FLAIR MRI.
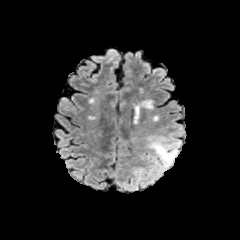
T1-weighted magnetic resonance.
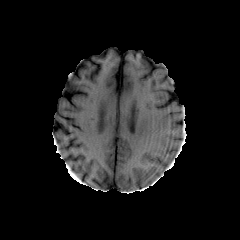
Post-contrast T1-weighted MR image.
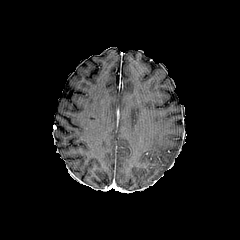
T2-weighted MR.
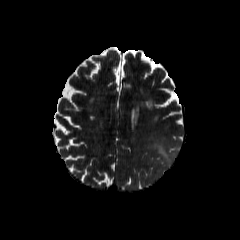
240x240 px
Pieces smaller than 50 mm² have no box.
peritumoral edema: bounding box [150, 136, 178, 167]